FLAIR MR.
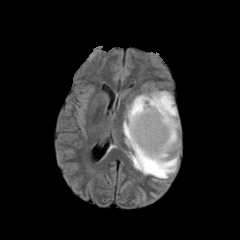
T1-weighted MRI.
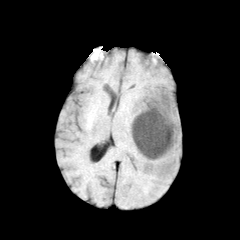
Post-contrast T1-weighted MRI.
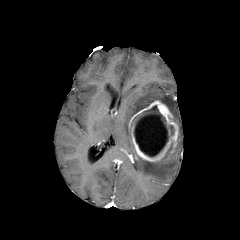
T2-weighted MR.
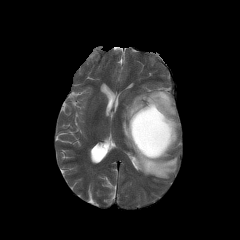
Brain. Axial plane.
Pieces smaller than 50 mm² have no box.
necrotic tumor core: <box>134,105,168,156</box> | peritumoral edema: <box>135,153,178,178</box>, <box>123,90,179,157</box> | enhancing tumor: <box>129,100,178,161</box>